FLAIR MR.
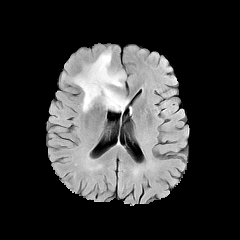
T1-weighted MR image.
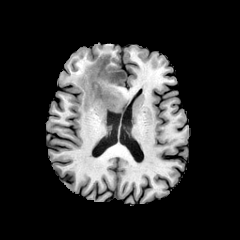
Post-contrast T1-weighted MR.
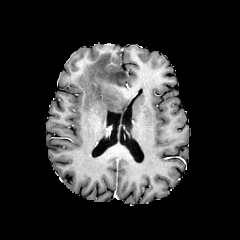
T2-weighted magnetic resonance.
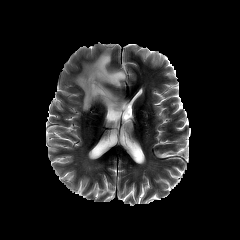
Head
peritumoral_edema:
  - <box>73,51,128,111</box>